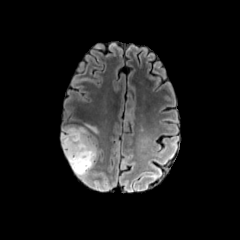
FLAIR MR image.
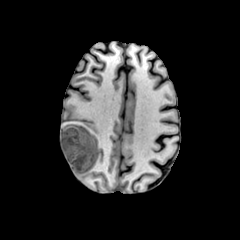
T1-weighted MR image.
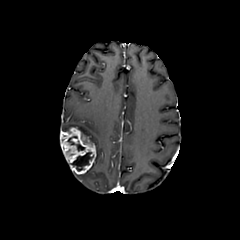
Same slice, post-contrast T1-weighted MR.
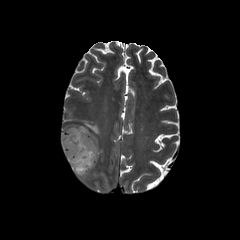
T2-weighted MRI.
Axial slice | Brain
necrotic tumor core = (71,152,93,171), (67,136,84,150)
peritumoral edema = (77,162,94,178), (84,123,99,134), (61,125,99,161)
enhancing tumor = (60,127,96,174)